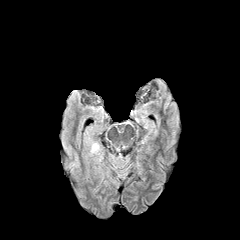
FLAIR MR image.
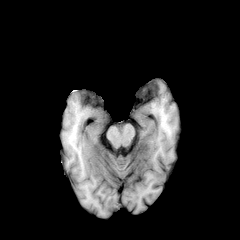
Same slice, T1-weighted magnetic resonance.
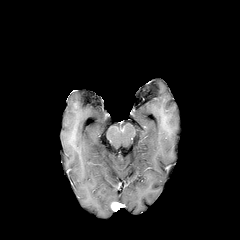
Same slice, post-contrast T1-weighted MR image.
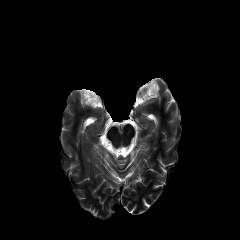
T2-weighted MRI of the same slice.
Axial slice
peritumoral edema at 91 143 99 152